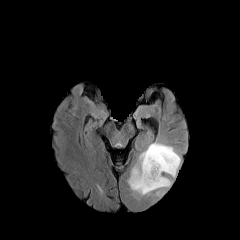
FLAIR MR.
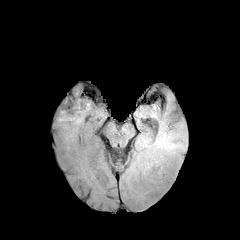
T1-weighted MR image.
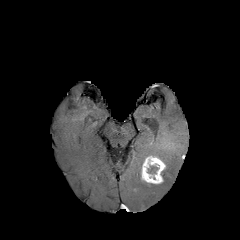
Post-contrast T1-weighted magnetic resonance.
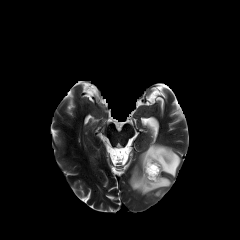
T2-weighted magnetic resonance of the same slice.
Axial plane, Image size 240x240, Brain
<segmentation>
  <necrotic_tumor_core><bbox>147, 166, 158, 173</bbox></necrotic_tumor_core>
  <peritumoral_edema><bbox>128, 141, 181, 196</bbox></peritumoral_edema>
  <enhancing_tumor><bbox>141, 155, 166, 184</bbox></enhancing_tumor>
</segmentation>